FLAIR MRI.
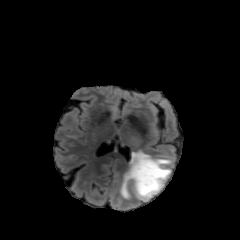
T1-weighted MRI.
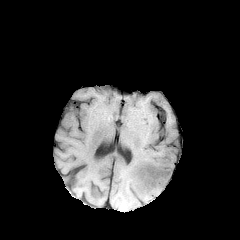
Post-contrast T1-weighted MRI.
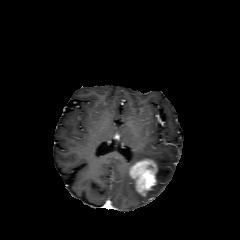
T2-weighted MR.
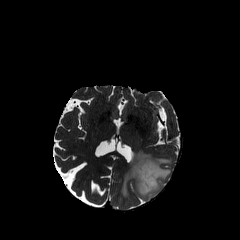
Axial slice
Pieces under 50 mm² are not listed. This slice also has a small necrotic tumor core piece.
{"peritumoral_edema": ["120:150:173:201"], "enhancing_tumor": ["130:159:157:195"]}